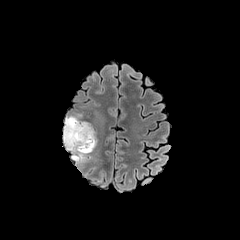
FLAIR MR image.
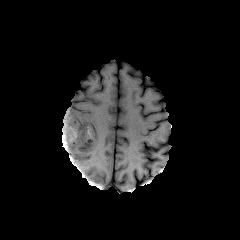
T1-weighted MR image of the same slice.
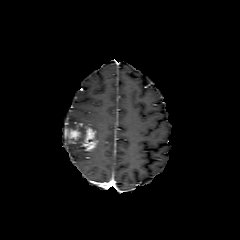
Post-contrast T1-weighted MRI of the same slice.
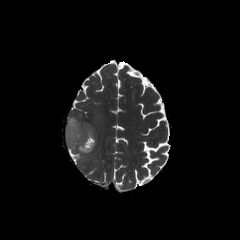
T2-weighted MRI of the same slice.
Image size 240x240. Head.
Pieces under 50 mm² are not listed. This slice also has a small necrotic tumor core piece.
* enhancing tumor: bbox=[65, 123, 97, 151]
* peritumoral edema: bbox=[63, 116, 93, 162]